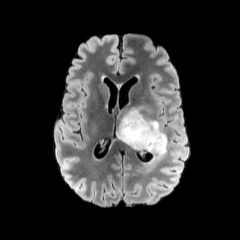
FLAIR magnetic resonance.
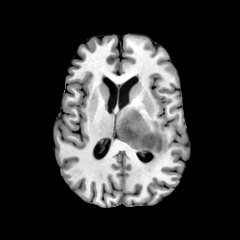
Same slice, T1-weighted MR.
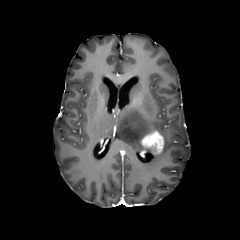
Post-contrast T1-weighted magnetic resonance.
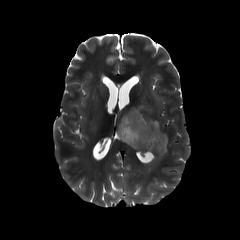
Same slice, T2-weighted MRI.
Head, Axial plane
The peritumoral edema is bounded by (left=117, top=108, right=167, bottom=165). The enhancing tumor appears at (left=140, top=130, right=164, bottom=153).